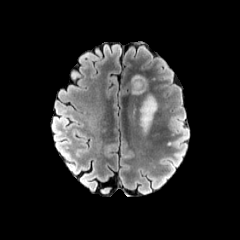
FLAIR MRI.
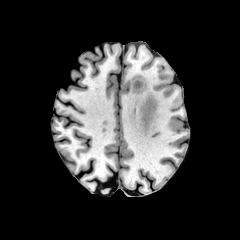
T1-weighted magnetic resonance.
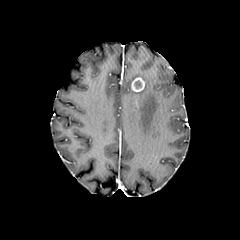
Post-contrast T1-weighted MR image.
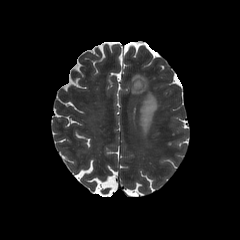
T2-weighted MR image.
Axial view. Head.
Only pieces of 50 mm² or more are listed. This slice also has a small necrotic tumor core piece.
Findings:
* enhancing tumor: bbox(131, 77, 145, 91)
* peritumoral edema: bbox(140, 93, 157, 133); bbox(132, 75, 146, 94)